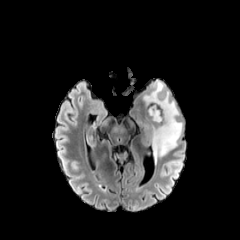
FLAIR magnetic resonance.
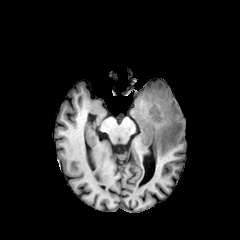
Same slice, T1-weighted magnetic resonance.
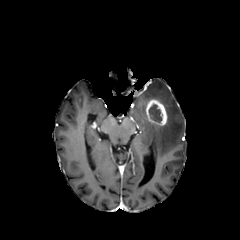
Same slice, post-contrast T1-weighted magnetic resonance.
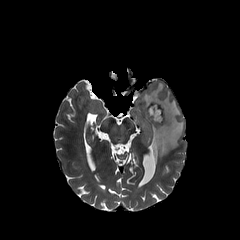
T2-weighted magnetic resonance.
Brain. Axial plane.
Findings:
- necrotic tumor core: rect(149, 104, 161, 122)
- enhancing tumor: rect(145, 98, 167, 125)
- peritumoral edema: rect(140, 80, 183, 164)